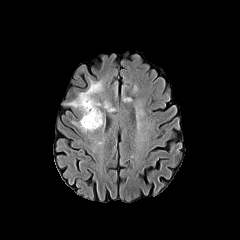
FLAIR magnetic resonance.
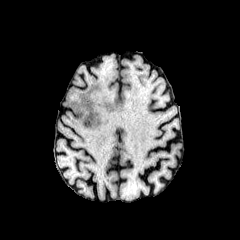
T1-weighted MR image.
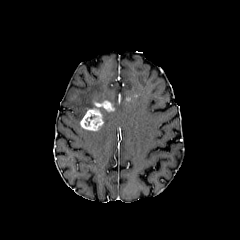
Post-contrast T1-weighted magnetic resonance of the same slice.
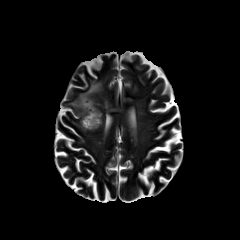
T2-weighted MR image.
Axial plane
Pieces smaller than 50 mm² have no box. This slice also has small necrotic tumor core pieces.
The largest enhancing tumor region is located at region(80, 100, 114, 131). The 2 largest peritumoral edema regions are bounded by region(73, 121, 93, 133); region(67, 80, 102, 119).